Axial view
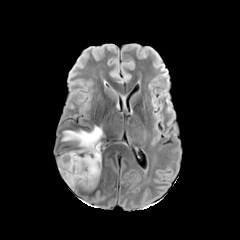
FLAIR MR.
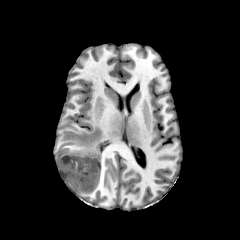
T1-weighted MR.
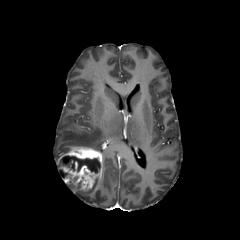
Post-contrast T1-weighted MR.
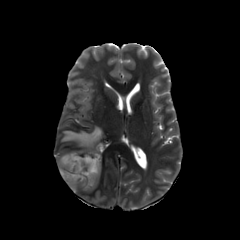
Same slice, T2-weighted MR image.
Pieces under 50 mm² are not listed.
The largest necrotic tumor core region is located at 58:155:100:178. The enhancing tumor is at 57:146:101:190. The largest peritumoral edema region is at 62:126:103:151.